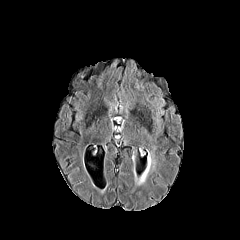
FLAIR MRI.
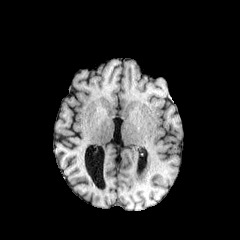
Same slice, T1-weighted magnetic resonance.
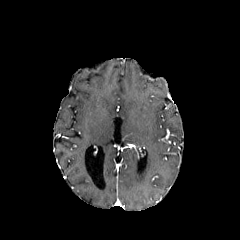
Post-contrast T1-weighted MRI.
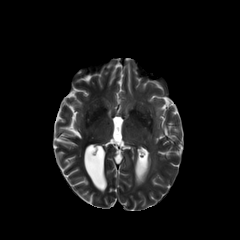
Same slice, T2-weighted MR.
peritumoral edema: 139 154 154 183